FLAIR magnetic resonance.
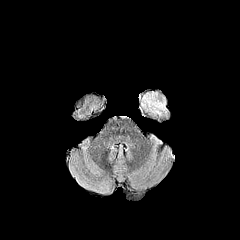
T1-weighted magnetic resonance.
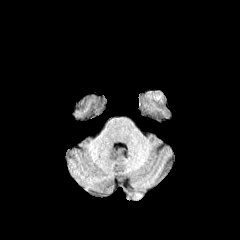
Post-contrast T1-weighted MRI.
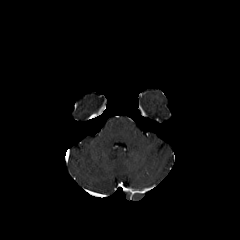
T2-weighted magnetic resonance.
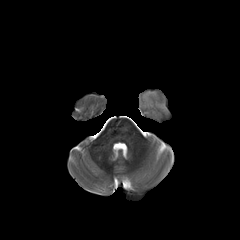
Head
Findings:
- peritumoral edema: bbox=[141, 92, 165, 114]